Image size 240x240
FLAIR MRI.
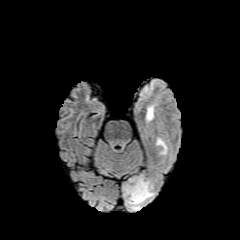
T1-weighted MR.
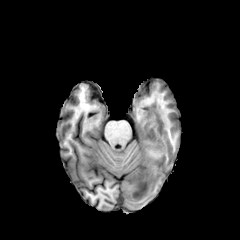
Post-contrast T1-weighted magnetic resonance.
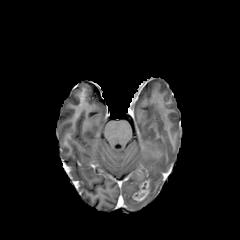
T2-weighted MR image.
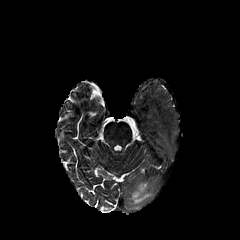
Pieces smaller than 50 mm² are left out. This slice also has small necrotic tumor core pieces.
enhancing tumor — 133:175:149:201
peritumoral edema — 124:176:154:210, 157:138:166:153, 147:106:153:120